FLAIR MR image.
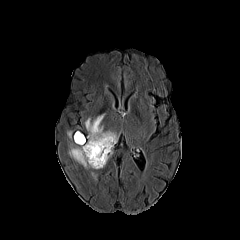
T1-weighted MR image.
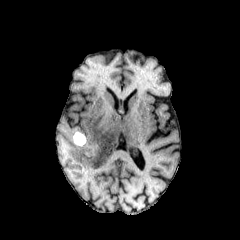
Post-contrast T1-weighted MR.
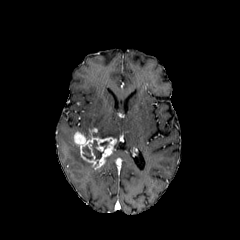
T2-weighted MR image.
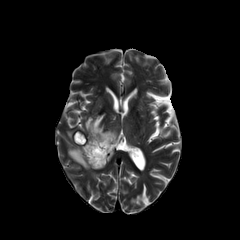
Axial slice
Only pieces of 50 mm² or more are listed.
<segmentation>
  <enhancing_tumor>rect(79, 128, 116, 169)</enhancing_tumor>
  <peritumoral_edema>rect(68, 146, 92, 168); rect(67, 131, 85, 145); rect(85, 114, 118, 139)</peritumoral_edema>
  <necrotic_tumor_core>rect(83, 145, 92, 159); rect(92, 140, 103, 160)</necrotic_tumor_core>
</segmentation>